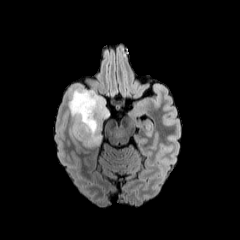
FLAIR magnetic resonance.
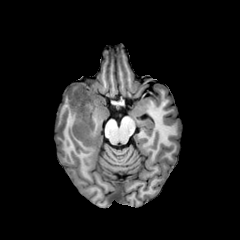
Same slice, T1-weighted MRI.
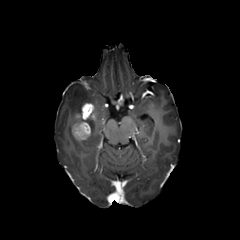
Post-contrast T1-weighted MR image of the same slice.
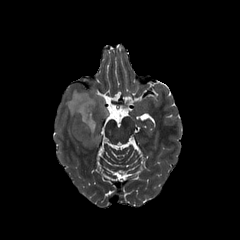
T2-weighted MR of the same slice.
Axial plane, Brain
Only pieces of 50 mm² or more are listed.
The largest peritumoral edema region is bounded by x1=68, y1=88, x2=109, y2=147. The enhancing tumor appears at x1=72, y1=102, x2=95, y2=140.